Axial view
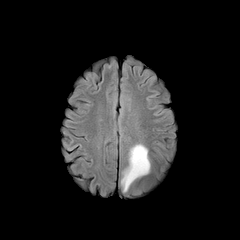
FLAIR magnetic resonance.
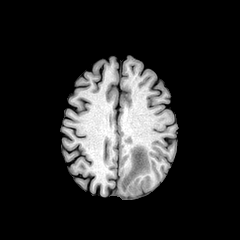
T1-weighted MRI of the same slice.
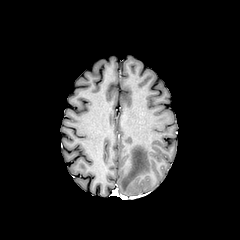
Post-contrast T1-weighted MR image.
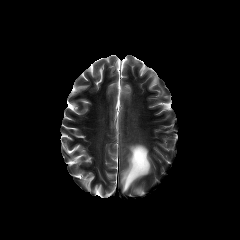
T2-weighted MRI of the same slice.
Annotated regions:
- peritumoral edema: x1=120, y1=144, x2=150, y2=192